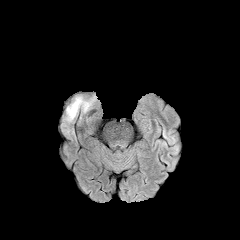
FLAIR magnetic resonance.
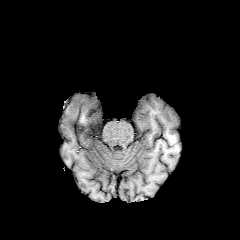
Same slice, T1-weighted magnetic resonance.
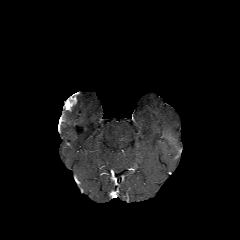
Same slice, post-contrast T1-weighted MR image.
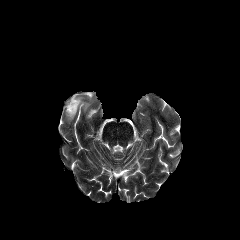
Same slice, T2-weighted MR.
Head. Axial plane.
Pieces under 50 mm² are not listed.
Segmented structures:
• enhancing tumor: [64,96,76,110]
• peritumoral edema: [64,94,96,122]